FLAIR MR.
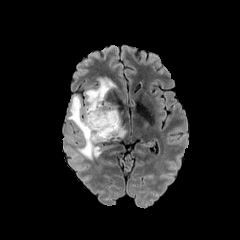
T1-weighted MR.
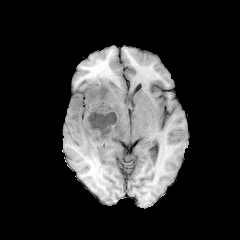
Post-contrast T1-weighted MR image.
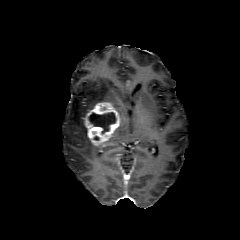
T2-weighted MR image.
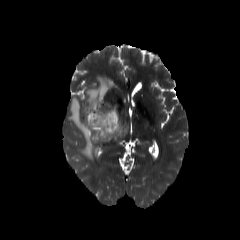
Axial plane | Head
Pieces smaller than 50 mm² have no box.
peritumoral edema: <bbox>67, 77, 114, 159</bbox>, <bbox>112, 119, 125, 137</bbox> | enhancing tumor: <bbox>84, 102, 120, 146</bbox> | necrotic tumor core: <bbox>89, 112, 115, 133</bbox>